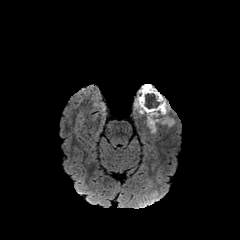
FLAIR MR image.
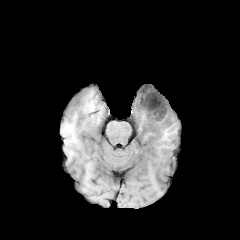
T1-weighted MRI.
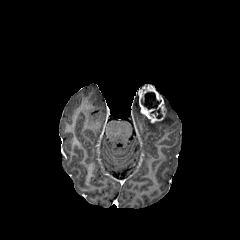
Post-contrast T1-weighted MRI.
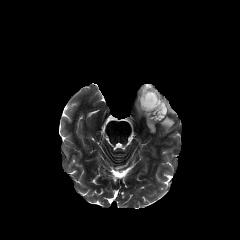
Same slice, T2-weighted MR image.
Axial slice; Brain
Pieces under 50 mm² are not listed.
The largest necrotic tumor core region is located at <box>143,93,160,109</box>. 2 peritumoral edema regions are bounded by <box>134,96,142,115</box>, <box>146,97,174,133</box>. The enhancing tumor is located at <box>138,84,166,122</box>.